FLAIR MR image.
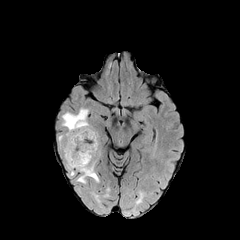
T1-weighted MR image.
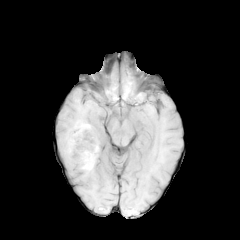
Post-contrast T1-weighted MR image.
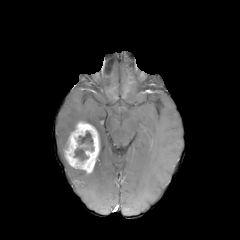
T2-weighted magnetic resonance.
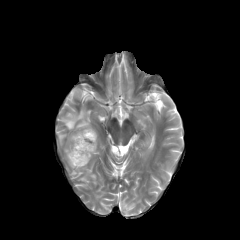
Head, 240x240
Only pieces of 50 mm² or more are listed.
Annotated regions:
- peritumoral edema: box=[67, 162, 99, 183]; box=[58, 108, 90, 145]
- enhancing tumor: box=[64, 121, 99, 173]
- necrotic tumor core: box=[74, 131, 93, 160]